240x240 px.
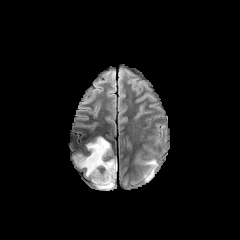
FLAIR MRI.
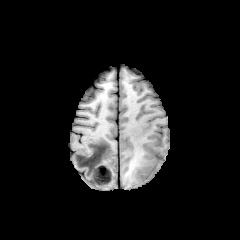
T1-weighted magnetic resonance.
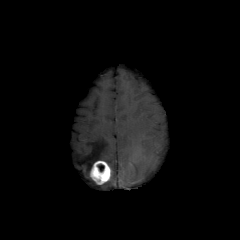
Post-contrast T1-weighted MRI.
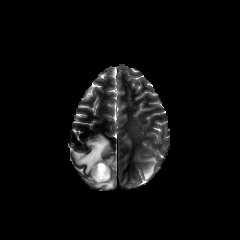
Same slice, T2-weighted MRI.
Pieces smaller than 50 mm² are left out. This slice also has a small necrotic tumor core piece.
The enhancing tumor is bounded by (90, 160, 111, 184). 3 peritumoral edema regions are located at (92, 159, 116, 189), (143, 158, 157, 181), (74, 136, 110, 176).